FLAIR MR.
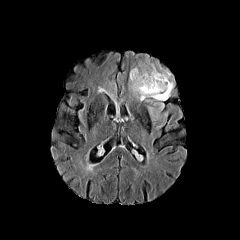
T1-weighted MRI.
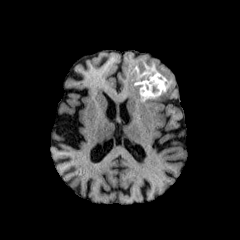
Post-contrast T1-weighted MR image.
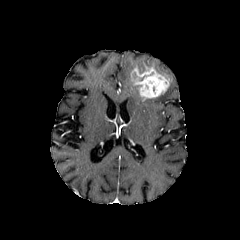
T2-weighted magnetic resonance.
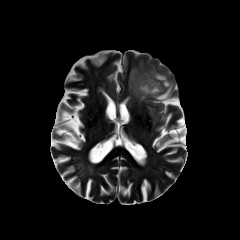
Brain.
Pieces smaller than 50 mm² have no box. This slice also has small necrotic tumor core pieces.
The enhancing tumor is at <bbox>130, 67, 169, 98</bbox>. The 3 largest peritumoral edema regions are bounded by <bbox>130, 75, 145, 100</bbox>, <bbox>146, 70, 173, 105</bbox>, <bbox>148, 107, 159, 120</bbox>.